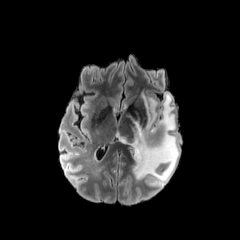
FLAIR MR.
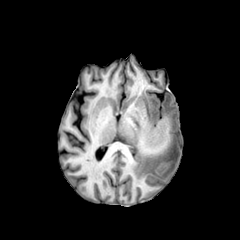
T1-weighted MRI.
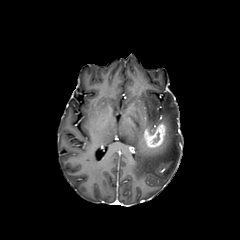
Post-contrast T1-weighted magnetic resonance.
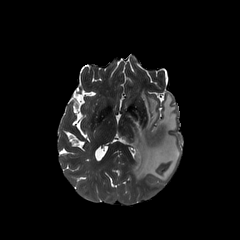
T2-weighted MR of the same slice.
Axial slice; Head
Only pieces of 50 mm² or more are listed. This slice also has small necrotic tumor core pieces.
peritumoral edema: l=118, t=93, r=179, b=185
enhancing tumor: l=143, t=122, r=166, b=149